Slice index 38; Axial plane
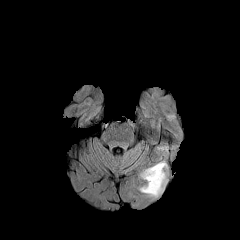
FLAIR MR image.
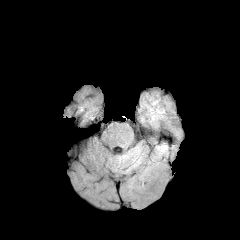
T1-weighted MRI.
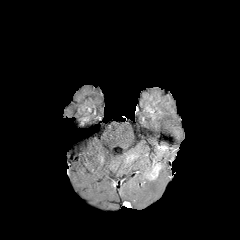
Post-contrast T1-weighted MR image of the same slice.
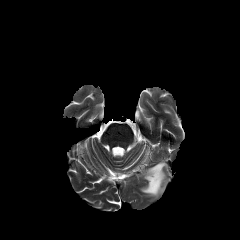
T2-weighted MRI.
The peritumoral edema is at x1=139 y1=160 x2=168 y2=197. The enhancing tumor appears at x1=146 y1=164 x2=161 y2=179.